Brain; Image covers 240 mm x 240 mm; Axial view
FLAIR MRI.
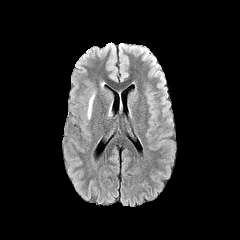
T1-weighted MR.
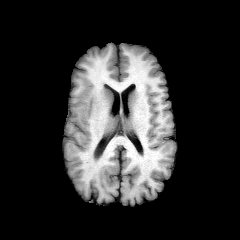
Post-contrast T1-weighted MR.
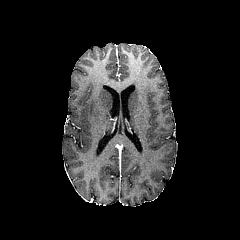
T2-weighted magnetic resonance.
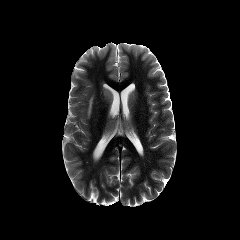
The peritumoral edema is at <bbox>86, 92, 94, 119</bbox>.